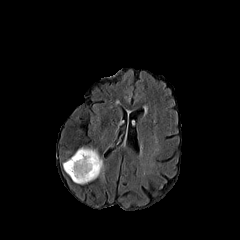
FLAIR MRI.
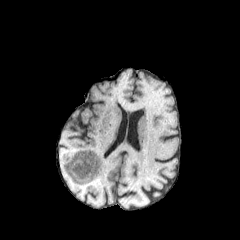
T1-weighted MR image.
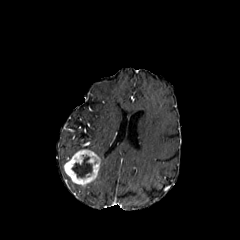
Post-contrast T1-weighted MRI.
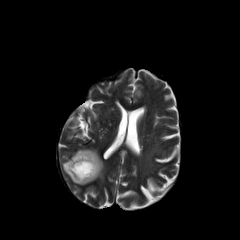
Same slice, T2-weighted MR.
Brain. Axial plane. Image size 240x240.
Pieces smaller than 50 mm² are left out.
{"enhancing_tumor": ["[64,149,100,185]"], "necrotic_tumor_core": ["[72,156,92,177]"], "peritumoral_edema": ["[98,157,103,177]"]}